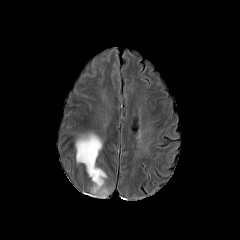
FLAIR MRI.
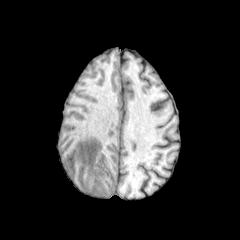
T1-weighted MRI.
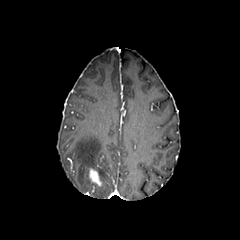
Post-contrast T1-weighted MR.
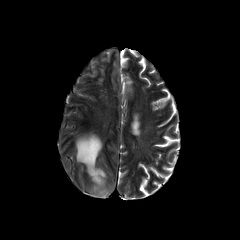
T2-weighted MR.
Axial view.
The enhancing tumor is located at 89, 169, 101, 185. The peritumoral edema is bounded by 76, 133, 109, 197.